Head. Slice 39/155. 240x240. Axial slice.
FLAIR MRI.
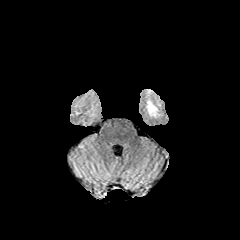
T1-weighted MR.
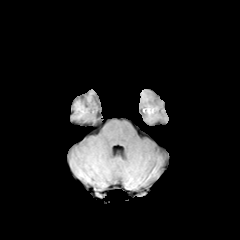
Post-contrast T1-weighted MRI.
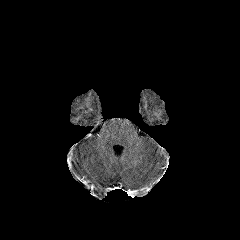
T2-weighted magnetic resonance.
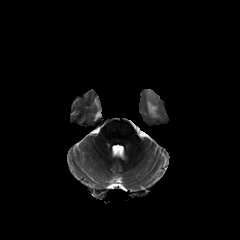
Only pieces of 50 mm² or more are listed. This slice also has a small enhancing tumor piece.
The peritumoral edema appears at <bbox>145, 89, 161, 117</bbox>.